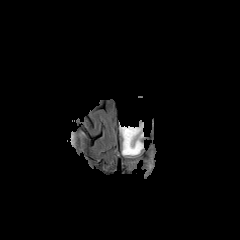
FLAIR MRI.
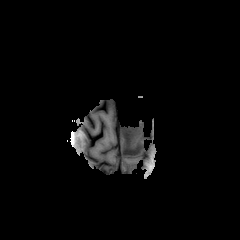
Same slice, T1-weighted MRI.
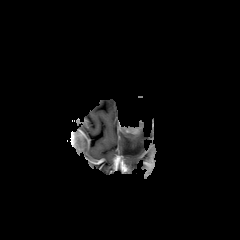
Post-contrast T1-weighted MRI.
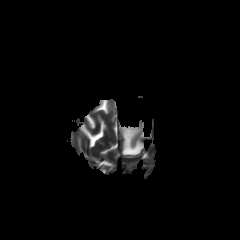
T2-weighted MRI.
Brain
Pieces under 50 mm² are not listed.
enhancing tumor: l=119, t=120, r=142, b=136 | peritumoral edema: l=120, t=129, r=143, b=156